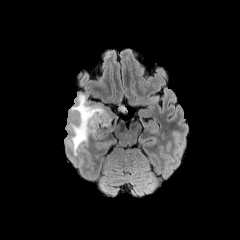
FLAIR magnetic resonance.
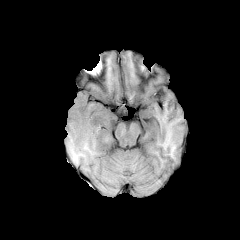
T1-weighted magnetic resonance of the same slice.
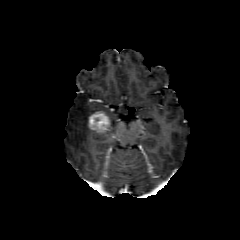
Same slice, post-contrast T1-weighted magnetic resonance.
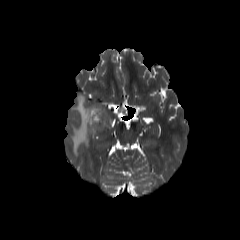
T2-weighted MR image.
The enhancing tumor appears at left=88, top=111, right=110, bottom=134. The peritumoral edema lies within left=70, top=94, right=109, bottom=155.